FLAIR magnetic resonance.
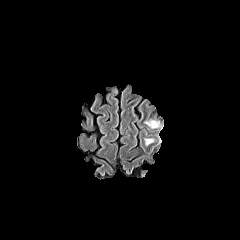
T1-weighted magnetic resonance.
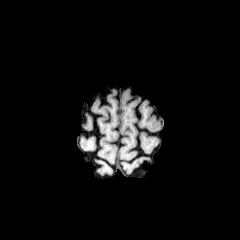
Post-contrast T1-weighted MR.
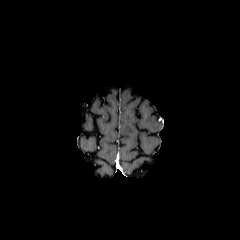
T2-weighted MRI.
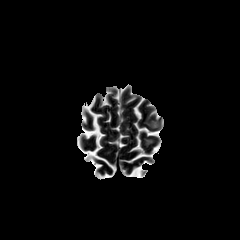
240x240 px; Axial plane
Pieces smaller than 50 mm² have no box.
• peritumoral edema: {"x1": 146, "y1": 121, "x2": 159, "y2": 128}